Slice 91/155; Brain; Axial plane; Image size 240x240
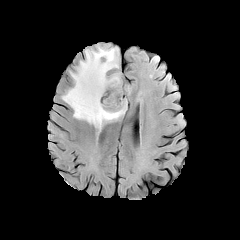
FLAIR MRI.
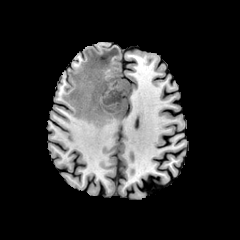
T1-weighted MRI of the same slice.
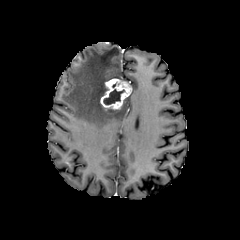
Post-contrast T1-weighted magnetic resonance.
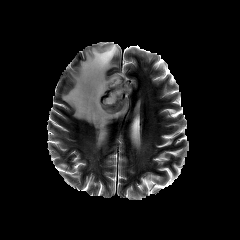
T2-weighted MR image.
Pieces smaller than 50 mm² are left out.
The largest necrotic tumor core region appears at l=103, t=89, r=124, b=104. The peritumoral edema is bounded by l=62, t=45, r=127, b=131. The enhancing tumor appears at l=100, t=78, r=131, b=109.